FLAIR magnetic resonance.
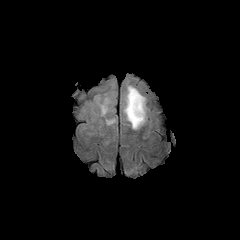
T1-weighted MR image.
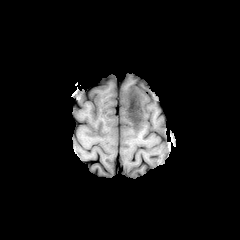
Post-contrast T1-weighted magnetic resonance.
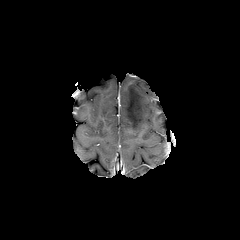
T2-weighted magnetic resonance.
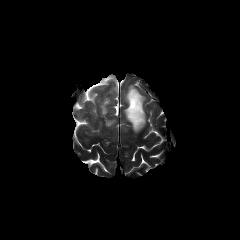
Axial plane. Brain.
peritumoral edema = [123, 86, 146, 130], [101, 99, 108, 114], [106, 119, 115, 125]